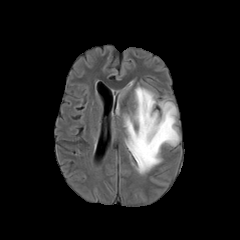
FLAIR magnetic resonance.
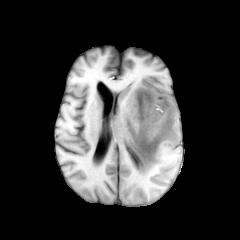
Same slice, T1-weighted MR.
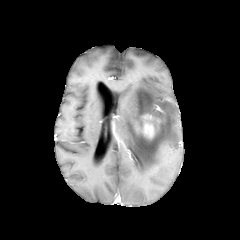
Post-contrast T1-weighted MR image of the same slice.
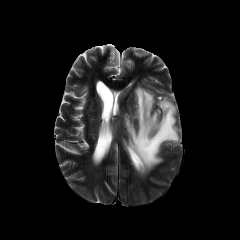
T2-weighted magnetic resonance.
240x240
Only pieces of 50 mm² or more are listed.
Segmented structures:
• peritumoral edema: <box>124,86,179,174</box>
• enhancing tumor: <box>140,114,154,138</box>